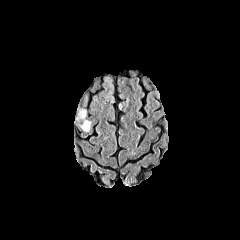
FLAIR MR.
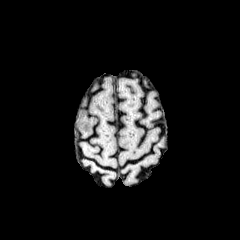
T1-weighted MR image.
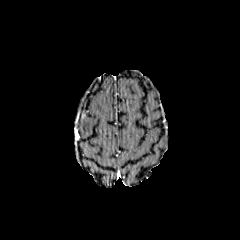
Post-contrast T1-weighted MR.
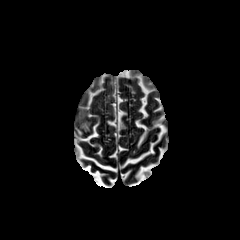
T2-weighted magnetic resonance.
Axial plane | Brain
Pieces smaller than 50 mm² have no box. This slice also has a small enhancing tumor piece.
peritumoral edema: [81, 110, 91, 131]